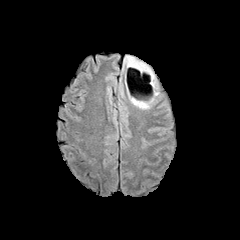
FLAIR MR image.
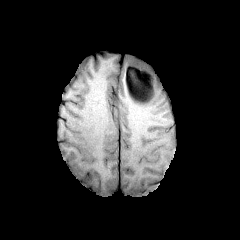
Same slice, T1-weighted MR image.
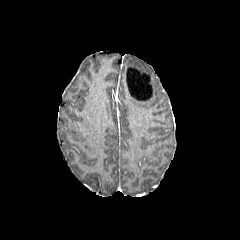
Post-contrast T1-weighted MR image of the same slice.
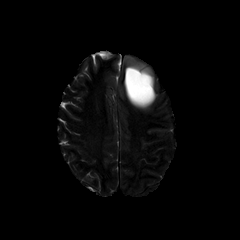
T2-weighted MRI.
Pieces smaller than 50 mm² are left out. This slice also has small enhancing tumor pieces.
The necrotic tumor core is bounded by left=126, top=67, right=153, bottom=101. 2 peritumoral edema regions appear at left=125, top=56, right=154, bottom=78; left=129, top=80, right=158, bottom=109.